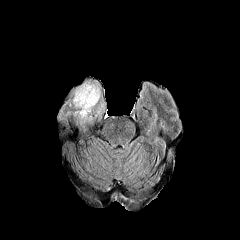
FLAIR MR.
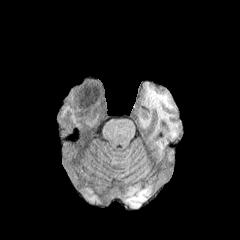
T1-weighted MR image.
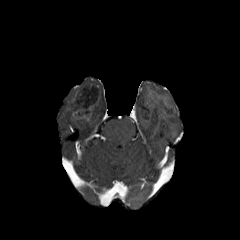
Post-contrast T1-weighted MRI.
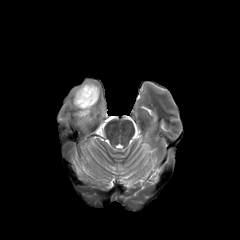
Same slice, T2-weighted MR image.
240x240 px | Axial slice
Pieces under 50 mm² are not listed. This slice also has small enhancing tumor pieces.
Findings:
* peritumoral edema: <box>72,81,104,121</box>
* necrotic tumor core: <box>75,86,97,108</box>